Slice index 45, Brain, Image covers 240 mm x 240 mm
FLAIR MR image.
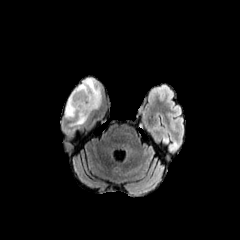
T1-weighted MRI.
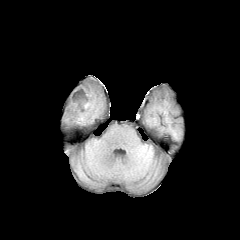
Post-contrast T1-weighted MR image.
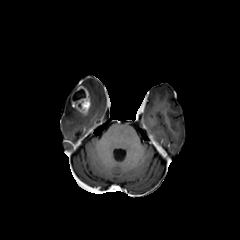
T2-weighted MRI.
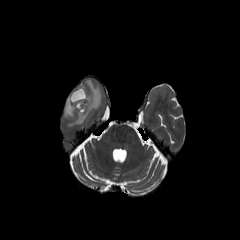
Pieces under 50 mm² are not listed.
The largest necrotic tumor core region is located at 72 89 85 101. The largest peritumoral edema region lies within 64 78 101 125. The enhancing tumor is at 71 85 90 115.